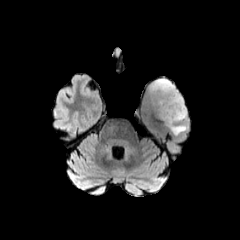
FLAIR MRI.
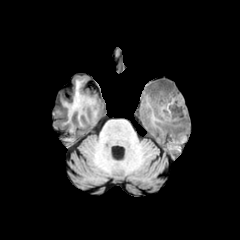
T1-weighted magnetic resonance.
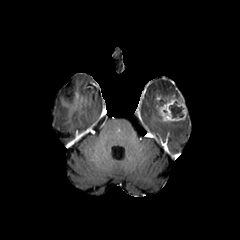
Post-contrast T1-weighted MR image.
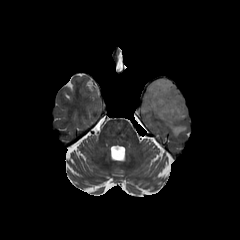
T2-weighted MRI.
Head | 240x240
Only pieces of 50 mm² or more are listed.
The largest necrotic tumor core region is located at (x1=169, y1=101, x2=183, y2=117). The 2 largest peritumoral edema regions are located at (x1=149, y1=79, x2=179, y2=108), (x1=165, y1=122, x2=187, y2=136). The enhancing tumor is bounded by (x1=154, y1=94, x2=187, y2=121).